Brain. Slice 88/155. 240x240.
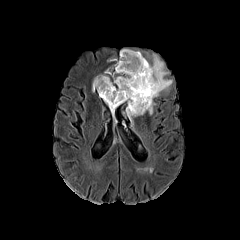
FLAIR MR image.
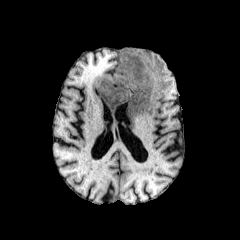
T1-weighted MR image of the same slice.
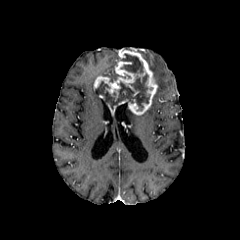
Post-contrast T1-weighted magnetic resonance.
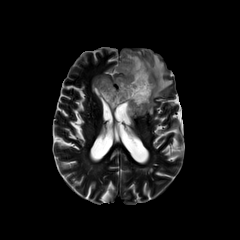
Same slice, T2-weighted MRI.
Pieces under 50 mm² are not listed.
Segmented structures:
* enhancing tumor: <bbox>94, 49, 157, 115</bbox>
* peritumoral edema: <bbox>127, 107, 136, 123</bbox>, <bbox>148, 101, 155, 114</bbox>, <bbox>144, 54, 172, 98</bbox>, <bbox>98, 70, 118, 82</bbox>
* necrotic tumor core: <bbox>96, 74, 149, 110</bbox>, <bbox>121, 54, 143, 73</bbox>